Slice 113/155; Head; 240x240 px
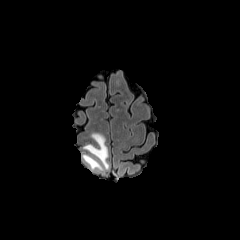
FLAIR MRI.
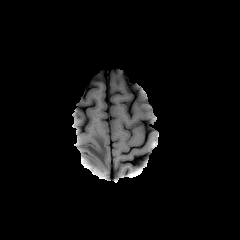
T1-weighted MR.
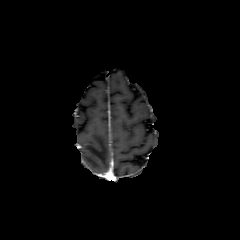
Post-contrast T1-weighted MRI.
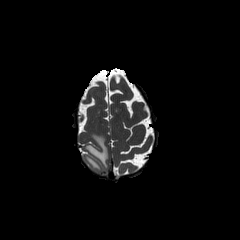
T2-weighted MR image of the same slice.
peritumoral edema = <bbox>82, 133, 109, 173</bbox>